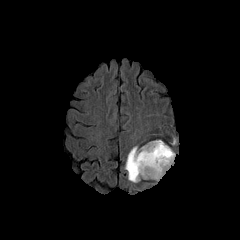
FLAIR MR image.
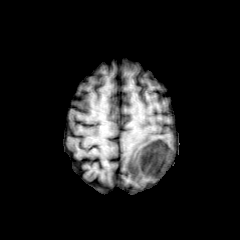
T1-weighted MR image of the same slice.
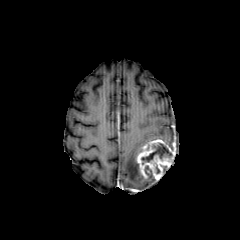
Post-contrast T1-weighted magnetic resonance.
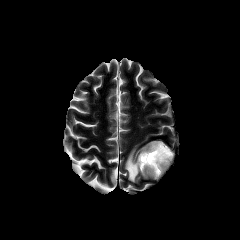
T2-weighted MR.
Axial view
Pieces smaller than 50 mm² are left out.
necrotic tumor core — x1=141 y1=143 x2=171 y2=161
peritumoral edema — x1=125 y1=146 x2=144 y2=182
enhancing tumor — x1=136 y1=139 x2=175 y2=179